Head | Image width 240 mm, 1.00 mm slice spacing
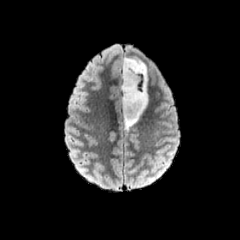
FLAIR MR.
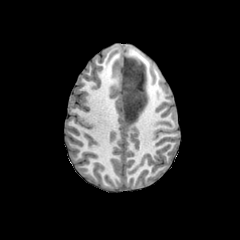
T1-weighted magnetic resonance.
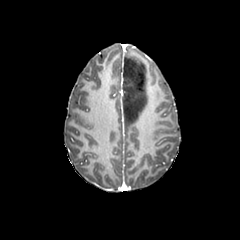
Same slice, post-contrast T1-weighted MR image.
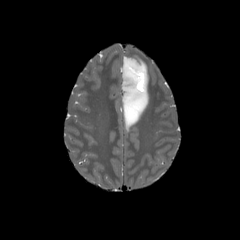
T2-weighted MR.
peritumoral edema = bbox(121, 57, 148, 129)